FLAIR MR.
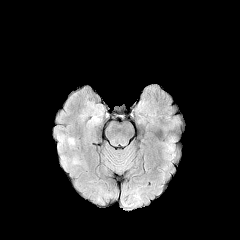
T1-weighted MR image.
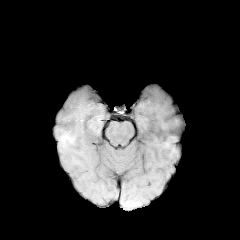
Post-contrast T1-weighted MRI.
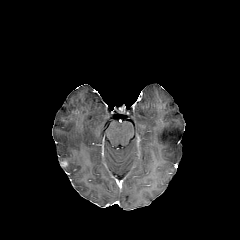
T2-weighted magnetic resonance.
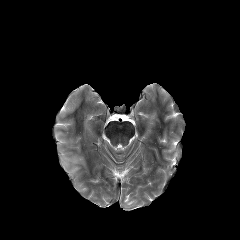
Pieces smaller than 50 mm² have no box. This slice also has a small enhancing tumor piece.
The largest peritumoral edema region is bounded by bbox=[61, 155, 80, 169].